Image width 240 mm, 1.00 mm slice spacing.
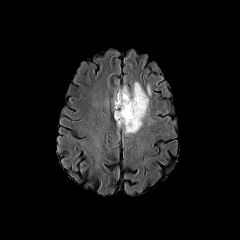
FLAIR MR image.
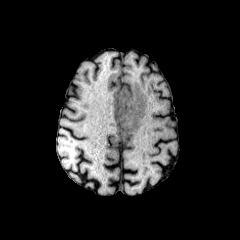
T1-weighted MR.
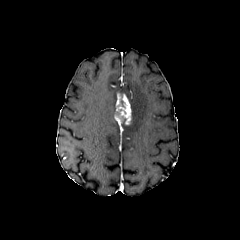
Post-contrast T1-weighted MR.
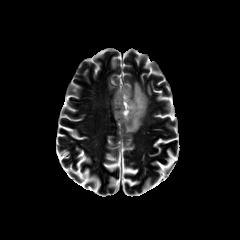
T2-weighted MR image.
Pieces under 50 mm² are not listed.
• peritumoral edema: {"x1": 118, "y1": 82, "x2": 148, "y2": 134}
• enhancing tumor: {"x1": 114, "y1": 93, "x2": 131, "y2": 125}